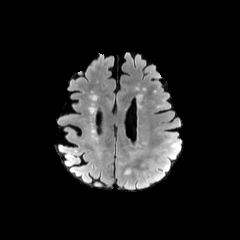
FLAIR MRI.
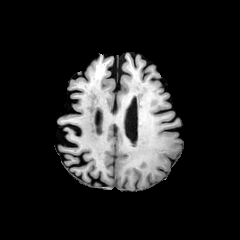
Same slice, T1-weighted MRI.
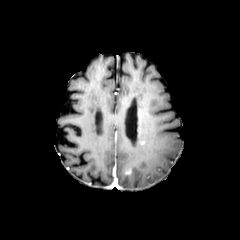
Post-contrast T1-weighted MR.
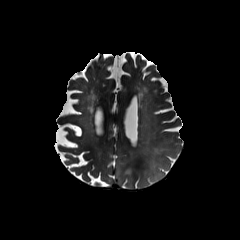
T2-weighted MR image.
240x240
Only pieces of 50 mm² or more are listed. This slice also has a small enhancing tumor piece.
Segmented structures:
- peritumoral edema: box=[118, 179, 150, 191]